Brain. Axial slice. 240x240 px. Image width 240 mm, 1.00 mm slice spacing. Slice index 49.
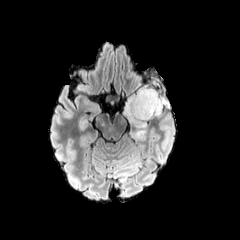
FLAIR magnetic resonance.
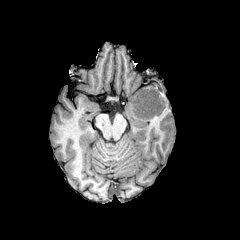
Same slice, T1-weighted MRI.
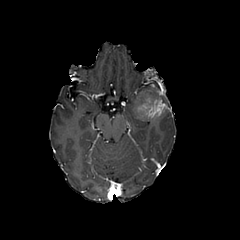
Same slice, post-contrast T1-weighted MR image.
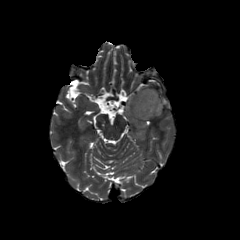
T2-weighted magnetic resonance of the same slice.
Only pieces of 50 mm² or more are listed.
necrotic tumor core — [145, 93, 158, 113]
enhancing tumor — [135, 90, 168, 118]
peritumoral edema — [123, 81, 157, 138]